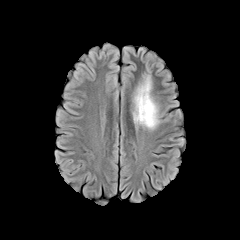
FLAIR magnetic resonance.
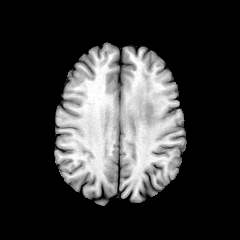
T1-weighted MRI.
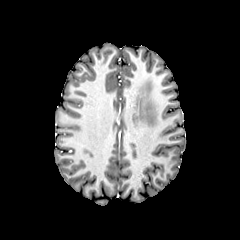
Post-contrast T1-weighted MR.
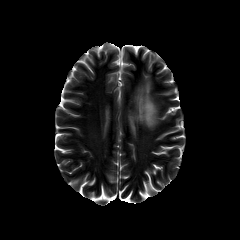
T2-weighted magnetic resonance.
{"peritumoral_edema": ["<box>133,76,159,129</box>"]}